Slice 72/155 | Axial slice
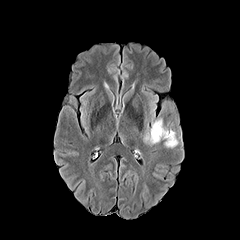
FLAIR MR image.
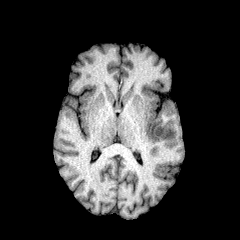
T1-weighted MR image.
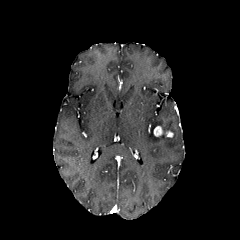
Same slice, post-contrast T1-weighted magnetic resonance.
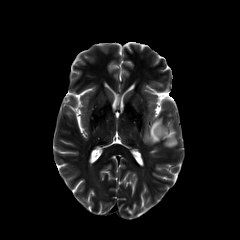
T2-weighted magnetic resonance.
{
  "enhancing_tumor": [
    "rect(165, 131, 173, 137)",
    "rect(153, 126, 163, 136)"
  ],
  "peritumoral_edema": [
    "rect(144, 118, 178, 147)"
  ]
}